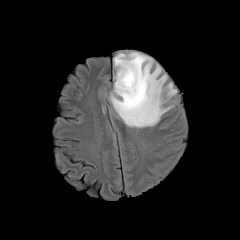
FLAIR magnetic resonance.
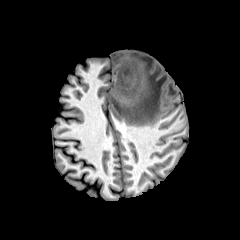
T1-weighted MR.
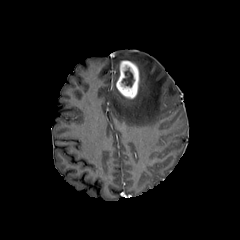
Post-contrast T1-weighted MR image of the same slice.
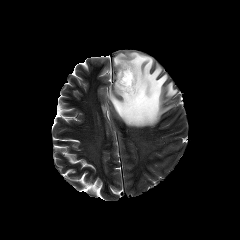
T2-weighted MRI of the same slice.
Axial plane
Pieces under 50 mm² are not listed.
enhancing tumor: box=[116, 60, 139, 98] | necrotic tumor core: box=[122, 68, 134, 86] | peritumoral edema: box=[109, 51, 177, 127]